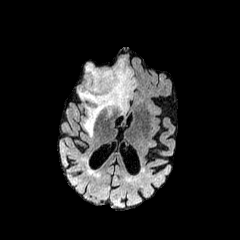
FLAIR magnetic resonance.
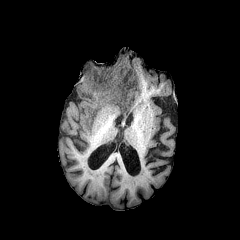
T1-weighted magnetic resonance.
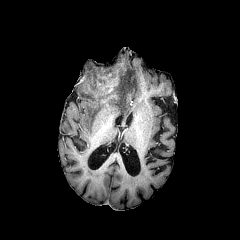
Post-contrast T1-weighted MRI.
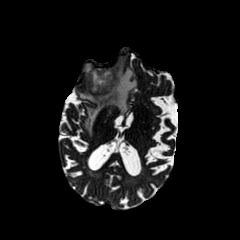
Same slice, T2-weighted MR.
240x240; Axial view; Head
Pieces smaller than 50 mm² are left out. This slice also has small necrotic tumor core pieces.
peritumoral edema = (left=78, top=58, right=136, bottom=136)
enhancing tumor = (left=94, top=70, right=119, bottom=102)